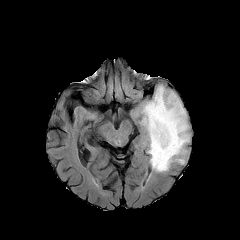
FLAIR MRI.
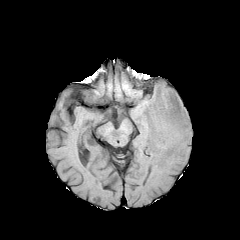
Same slice, T1-weighted MRI.
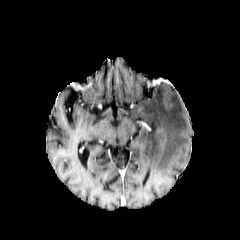
Post-contrast T1-weighted MR.
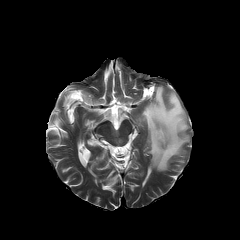
T2-weighted MR.
240x240. Axial view.
<segmentation>
  <peritumoral_edema>region(141, 85, 189, 171)</peritumoral_edema>
</segmentation>